Brain; Axial plane
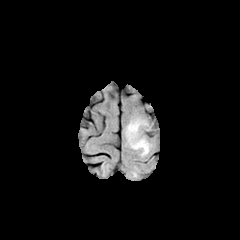
FLAIR MRI.
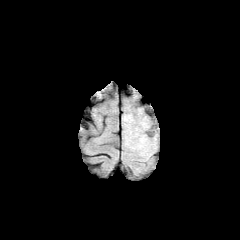
T1-weighted MRI.
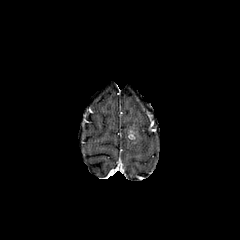
Post-contrast T1-weighted magnetic resonance.
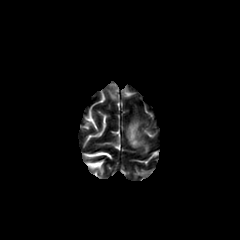
Same slice, T2-weighted MR.
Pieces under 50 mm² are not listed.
{"peritumoral_edema": ["125 116 151 155"], "enhancing_tumor": ["128 125 135 139"]}